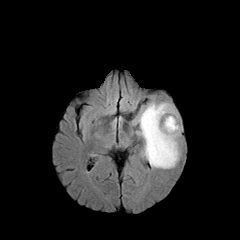
FLAIR magnetic resonance.
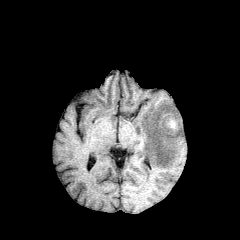
T1-weighted MR.
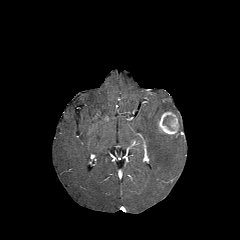
Post-contrast T1-weighted magnetic resonance.
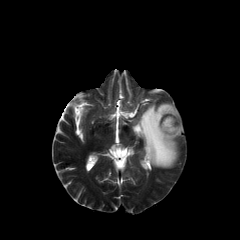
T2-weighted MR.
240x240 px
The enhancing tumor is located at [158,111,179,135]. The necrotic tumor core is bounded by [163,116,172,128]. The peritumoral edema appears at [134,102,182,168].